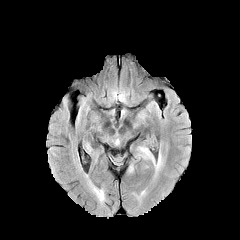
FLAIR MRI.
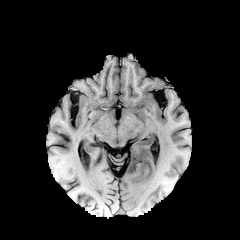
T1-weighted MR image of the same slice.
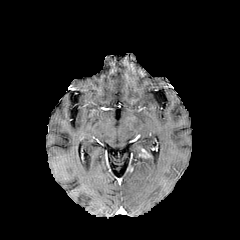
Same slice, post-contrast T1-weighted MR.
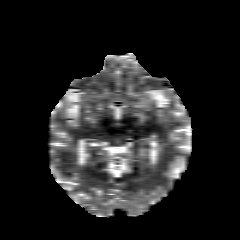
T2-weighted MR of the same slice.
Axial view; 240x240 px; Head
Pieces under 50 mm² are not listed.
The largest peritumoral edema region is at 145,154,161,170. The largest enhancing tumor region lies within 138,148,151,158.